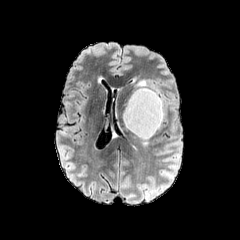
FLAIR MR image.
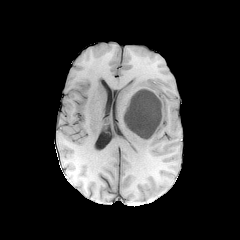
T1-weighted MRI.
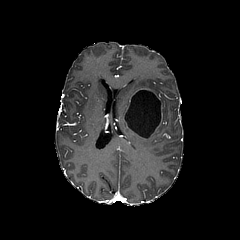
Post-contrast T1-weighted magnetic resonance of the same slice.
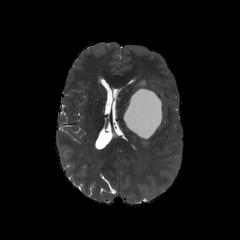
T2-weighted MR image of the same slice.
Brain | Axial view
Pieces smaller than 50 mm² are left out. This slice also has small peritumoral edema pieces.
Annotated regions:
* enhancing tumor: 126,88,162,131
* necrotic tumor core: 125,90,161,138